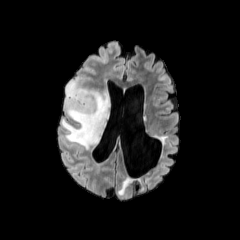
FLAIR magnetic resonance.
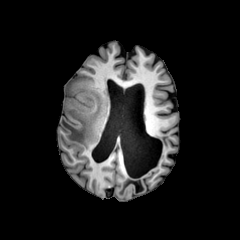
T1-weighted MR.
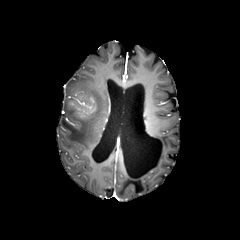
Post-contrast T1-weighted MR of the same slice.
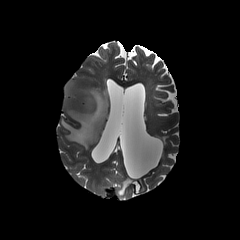
T2-weighted magnetic resonance.
Brain
The peritumoral edema appears at 61 79 109 149. The enhancing tumor lies within 70 93 93 117.